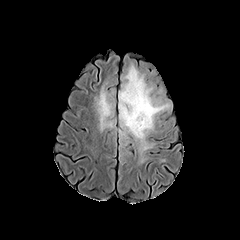
FLAIR MR image.
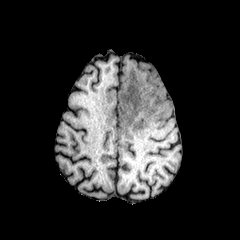
T1-weighted magnetic resonance.
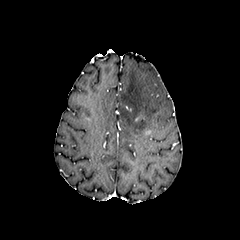
Post-contrast T1-weighted MR image.
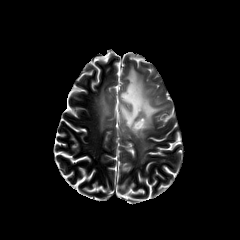
T2-weighted magnetic resonance.
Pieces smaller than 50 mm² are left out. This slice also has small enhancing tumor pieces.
{
  "necrotic_tumor_core": [
    "x1=127 y1=93 x2=135 y2=112"
  ],
  "peritumoral_edema": [
    "x1=96 y1=87 x2=112 y2=130",
    "x1=118 y1=64 x2=168 y2=150"
  ]
}